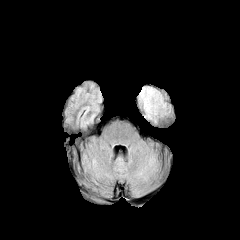
FLAIR magnetic resonance.
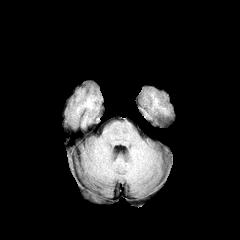
T1-weighted MR.
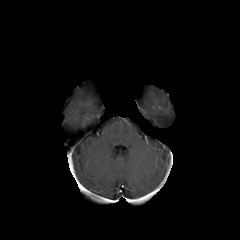
Post-contrast T1-weighted MR image of the same slice.
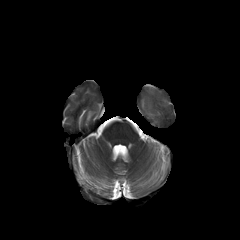
T2-weighted MRI of the same slice.
* peritumoral edema: <box>138,86,165,121</box>